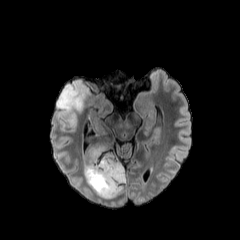
FLAIR MRI.
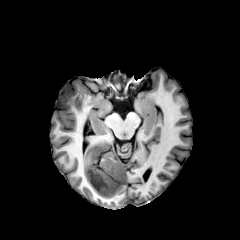
T1-weighted magnetic resonance.
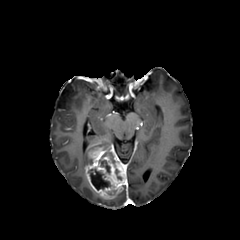
Post-contrast T1-weighted MRI of the same slice.
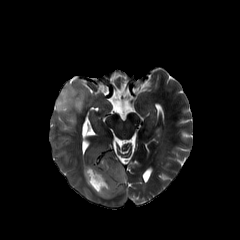
T2-weighted MR image.
Axial plane
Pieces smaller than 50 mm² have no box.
The 2 largest peritumoral edema regions appear at box(84, 188, 92, 198); box(56, 80, 88, 123). The 2 largest necrotic tumor core regions appear at box(88, 168, 110, 190); box(98, 159, 110, 173). The largest enhancing tumor region is at box(84, 146, 126, 198).